Brain. Image width 240 mm, 1.00 mm slice spacing. Axial plane. Image size 240x240.
FLAIR MR image.
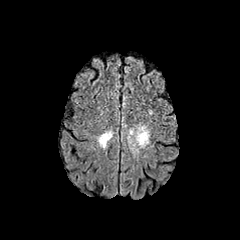
T1-weighted MR image.
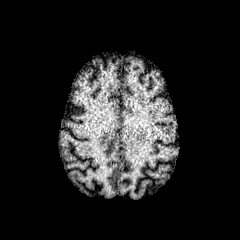
Post-contrast T1-weighted MRI.
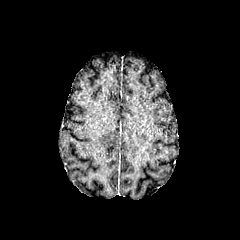
T2-weighted MR image.
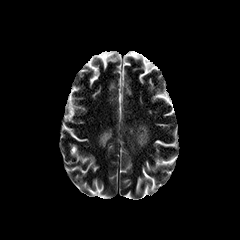
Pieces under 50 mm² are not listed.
Findings:
* peritumoral edema: bbox=[128, 124, 149, 151]; bbox=[97, 130, 112, 148]